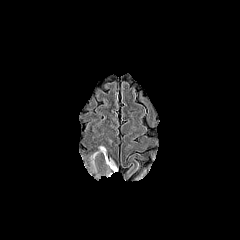
FLAIR MRI.
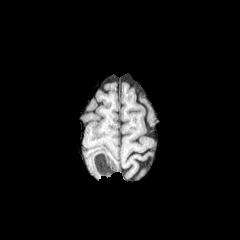
T1-weighted MR.
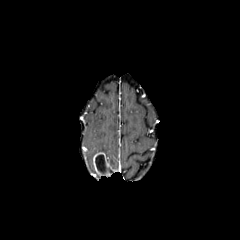
Post-contrast T1-weighted MR of the same slice.
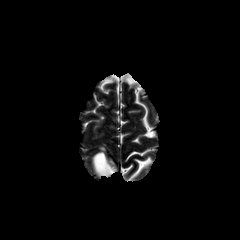
T2-weighted MR of the same slice.
Brain, Axial view, 240x240 px
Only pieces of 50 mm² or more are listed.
enhancing tumor: 92:152:117:177 | peritumoral edema: 99:146:107:157 | necrotic tumor core: 95:155:106:173